Brain
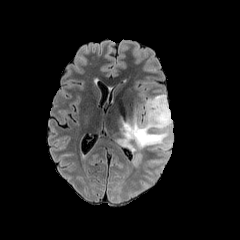
FLAIR MR image.
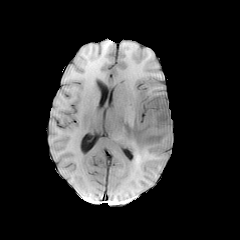
T1-weighted MRI of the same slice.
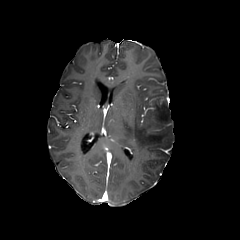
Post-contrast T1-weighted MRI.
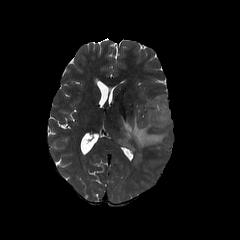
T2-weighted MRI of the same slice.
peritumoral edema at bbox=[132, 152, 141, 167]; bbox=[116, 94, 172, 155]; bbox=[148, 158, 166, 164]